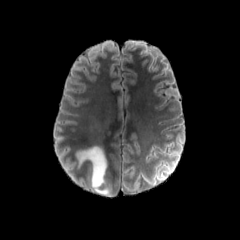
FLAIR MR.
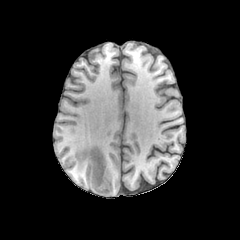
T1-weighted MRI.
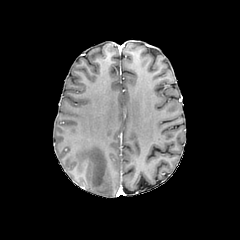
Same slice, post-contrast T1-weighted MR.
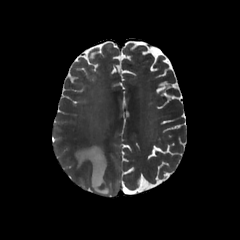
T2-weighted magnetic resonance.
Axial plane
The peritumoral edema lies within (77, 146, 109, 195).